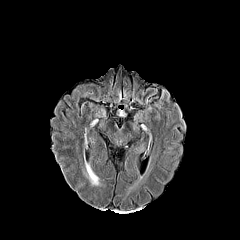
FLAIR MR.
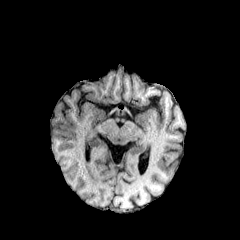
T1-weighted MRI.
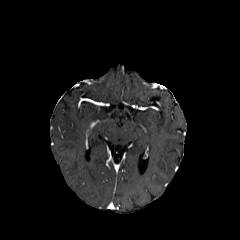
Same slice, post-contrast T1-weighted MRI.
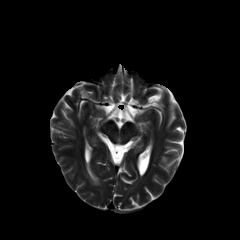
T2-weighted MRI.
Axial view
- peritumoral edema: (left=85, top=163, right=98, bottom=184)